Image covers 240 mm x 240 mm; Axial view; Head
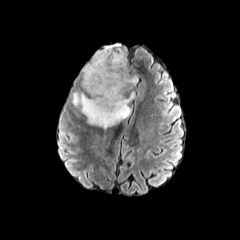
FLAIR MRI.
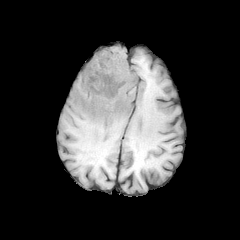
T1-weighted MR image.
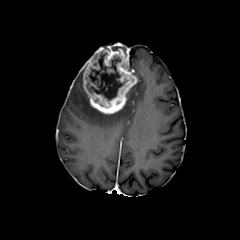
Post-contrast T1-weighted MRI.
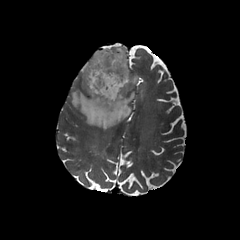
T2-weighted magnetic resonance of the same slice.
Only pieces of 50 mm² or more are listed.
The largest enhancing tumor region is at 82:43:137:114. The largest necrotic tumor core region is at 87:52:124:108. The largest peritumoral edema region appears at 72:90:134:128.